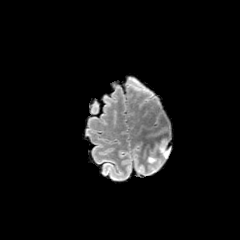
FLAIR magnetic resonance.
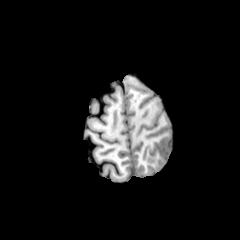
T1-weighted MR.
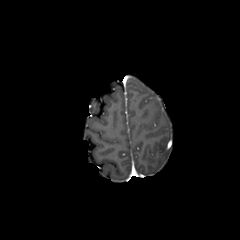
Post-contrast T1-weighted MR.
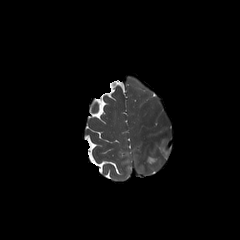
T2-weighted magnetic resonance of the same slice.
240x240 px. Head. Axial slice.
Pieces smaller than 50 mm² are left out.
peritumoral_edema:
  - bbox=[160, 141, 170, 158]